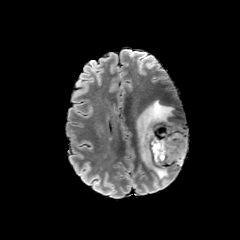
FLAIR MRI.
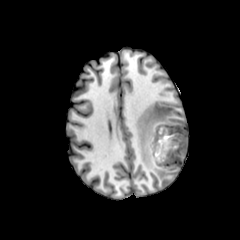
Same slice, T1-weighted magnetic resonance.
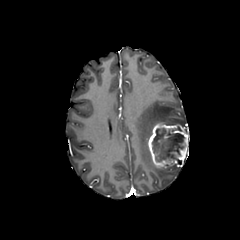
Post-contrast T1-weighted MR image.
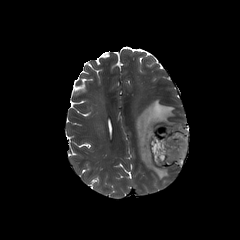
T2-weighted MR.
Axial slice. Image size 240x240.
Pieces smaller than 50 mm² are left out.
<segmentation>
  <enhancing_tumor>box=[147, 123, 188, 167]; box=[162, 159, 182, 166]</enhancing_tumor>
  <peritumoral_edema>box=[135, 99, 184, 178]</peritumoral_edema>
  <necrotic_tumor_core>box=[152, 128, 184, 164]</necrotic_tumor_core>
</segmentation>